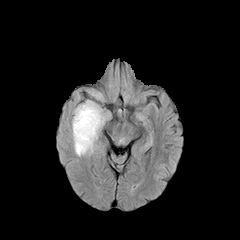
FLAIR magnetic resonance.
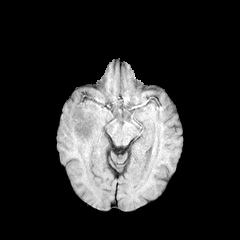
T1-weighted MR image.
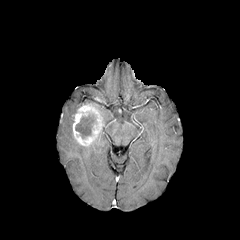
Post-contrast T1-weighted MR.
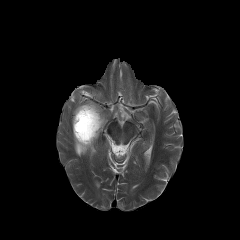
Same slice, T2-weighted MR.
Brain
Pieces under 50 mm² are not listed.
peritumoral edema: bounding box x1=72, y1=117, x2=98, y2=156; x1=73, y1=100, x2=105, y2=126
necrotic tumor core: bounding box x1=75, y1=114, x2=95, y2=138
enhancing tumor: bounding box x1=73, y1=104, x2=102, y2=145